Brain; 240x240; Axial slice; Slice index 74
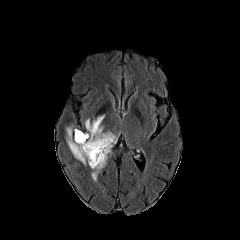
FLAIR MR.
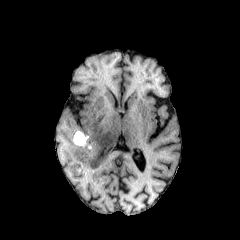
T1-weighted MR image of the same slice.
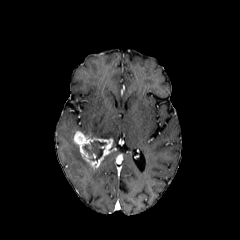
Post-contrast T1-weighted MR.
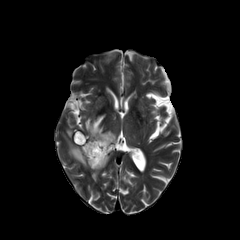
T2-weighted magnetic resonance.
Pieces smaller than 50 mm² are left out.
<segmentation>
  <necrotic_tumor_core>x1=83, y1=140, x2=106, y2=161</necrotic_tumor_core>
  <peritumoral_edema>x1=91, y1=155, x2=107, y2=181; x1=85, y1=115, x2=117, y2=144; x1=66, y1=127, x2=88, y2=166</peritumoral_edema>
  <enhancing_tumor>x1=79, y1=133, x2=113, y2=169</enhancing_tumor>
</segmentation>